FLAIR MR.
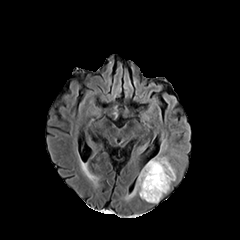
T1-weighted magnetic resonance.
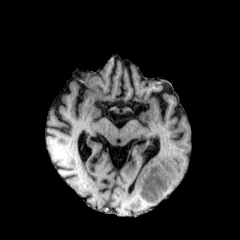
Post-contrast T1-weighted MR image.
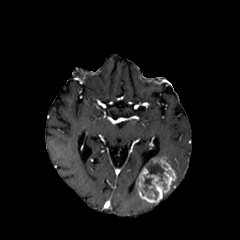
T2-weighted MR.
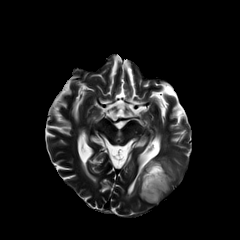
Head
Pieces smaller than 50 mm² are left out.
Segmented structures:
• enhancing tumor: (135, 157, 176, 203)
• necrotic tumor core: (143, 178, 157, 199), (145, 160, 167, 189)
• peritumoral edema: (126, 188, 135, 200)